FLAIR MR image.
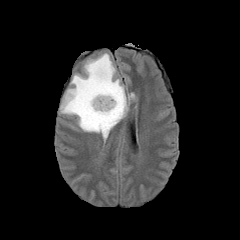
T1-weighted magnetic resonance.
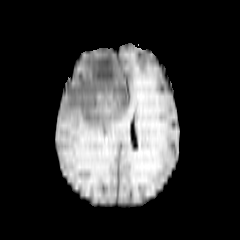
Post-contrast T1-weighted MR.
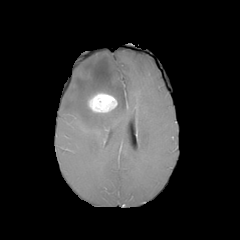
T2-weighted MRI.
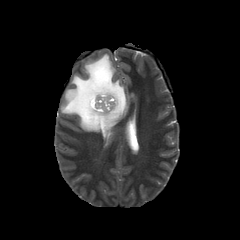
240x240
The peritumoral edema appears at rect(60, 53, 134, 138). The enhancing tumor appears at rect(87, 92, 117, 113).